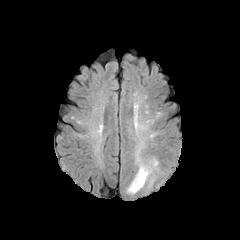
FLAIR MR.
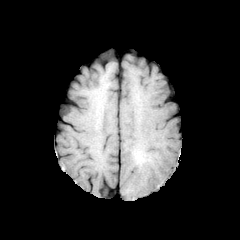
T1-weighted magnetic resonance.
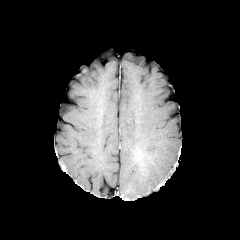
Same slice, post-contrast T1-weighted MR.
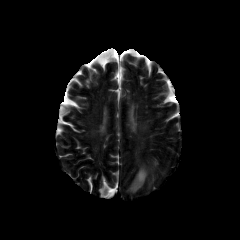
T2-weighted MRI of the same slice.
Axial view
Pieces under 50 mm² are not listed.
Segmented structures:
* peritumoral edema: box=[127, 159, 157, 193]